240x240 px. Axial slice. Head.
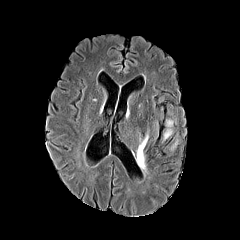
FLAIR magnetic resonance.
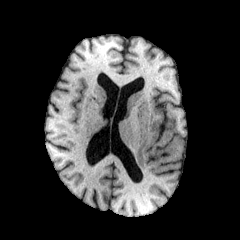
T1-weighted MRI.
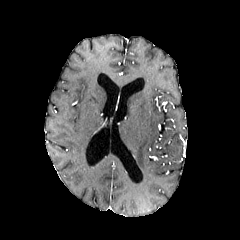
Post-contrast T1-weighted MRI of the same slice.
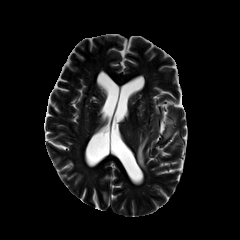
T2-weighted MR image of the same slice.
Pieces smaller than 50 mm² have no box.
peritumoral edema: 137,134,148,170